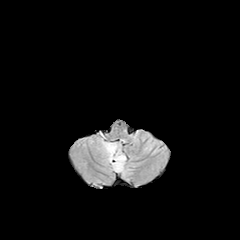
FLAIR magnetic resonance.
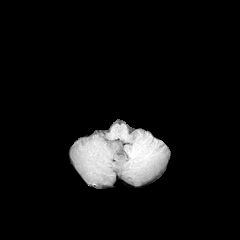
Same slice, T1-weighted MR.
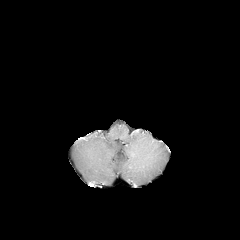
Post-contrast T1-weighted MR.
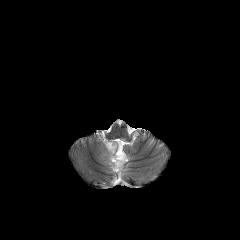
T2-weighted MR image of the same slice.
240x240 px
peritumoral edema: (102, 141, 126, 172)